Slice index 67, Head, Axial plane
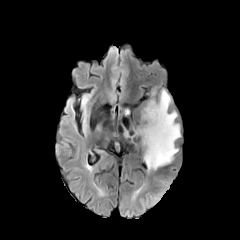
FLAIR MR image.
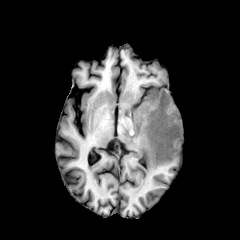
Same slice, T1-weighted magnetic resonance.
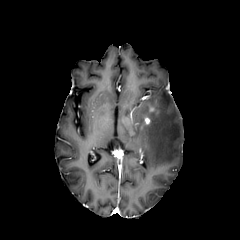
Same slice, post-contrast T1-weighted MR.
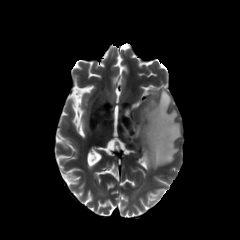
T2-weighted MR of the same slice.
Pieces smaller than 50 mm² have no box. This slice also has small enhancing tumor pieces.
The largest peritumoral edema region is located at [133, 89, 180, 170].